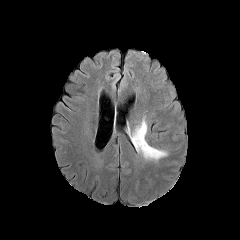
FLAIR MRI.
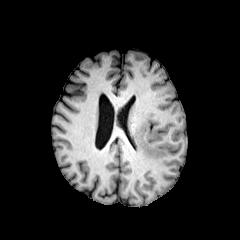
T1-weighted MRI.
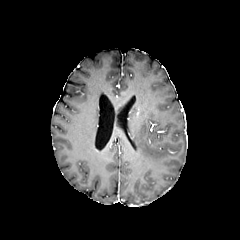
Same slice, post-contrast T1-weighted MR image.
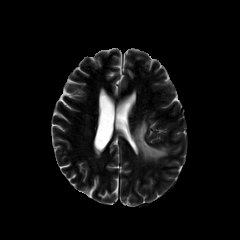
T2-weighted MR.
Brain.
{"peritumoral_edema": ["<bbox>132, 118, 167, 160</bbox>"]}